FLAIR magnetic resonance.
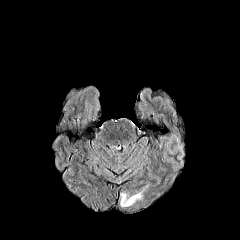
T1-weighted MRI.
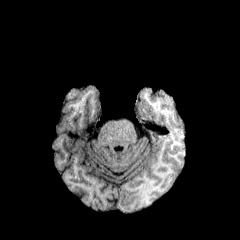
Post-contrast T1-weighted MRI.
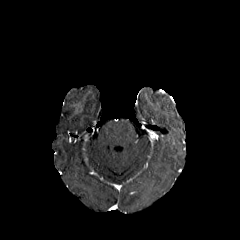
T2-weighted MRI.
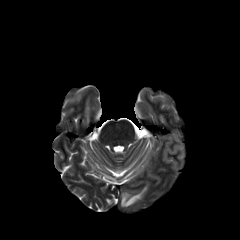
Brain.
peritumoral_edema:
  - {"x1": 120, "y1": 185, "x2": 148, "y2": 206}